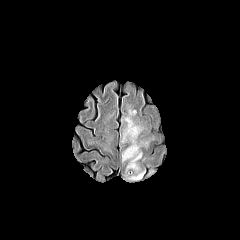
FLAIR magnetic resonance.
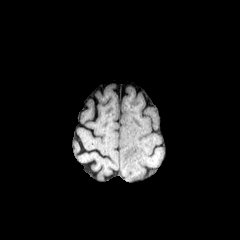
T1-weighted MRI.
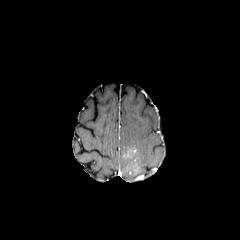
Post-contrast T1-weighted MR image.
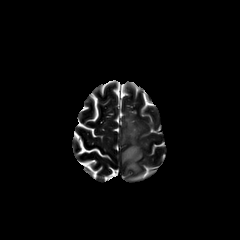
Same slice, T2-weighted magnetic resonance.
Brain, Axial plane
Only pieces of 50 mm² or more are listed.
peritumoral edema — box=[121, 106, 149, 155]
enhancing tumor — box=[122, 147, 143, 177]